Head | Image covers 240 mm x 240 mm
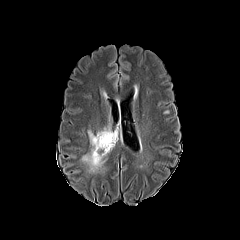
FLAIR magnetic resonance.
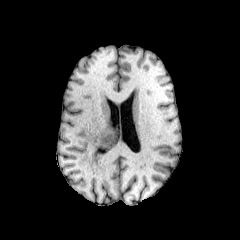
T1-weighted MRI of the same slice.
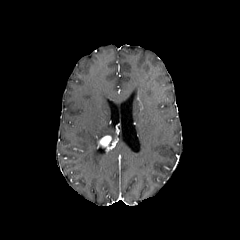
Post-contrast T1-weighted MRI.
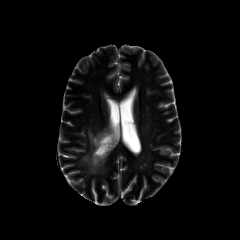
T2-weighted MR image of the same slice.
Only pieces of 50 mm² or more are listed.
enhancing_tumor:
  - [96,135,111,148]
peritumoral_edema:
  - [81,130,106,172]
  - [97,128,116,145]